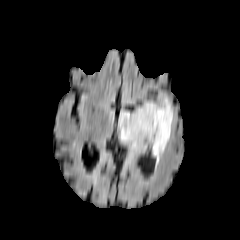
FLAIR MR image.
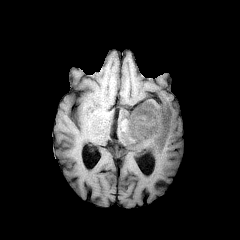
T1-weighted MRI.
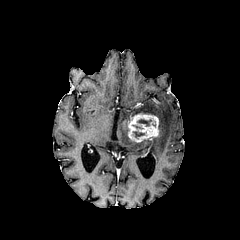
Post-contrast T1-weighted MR.
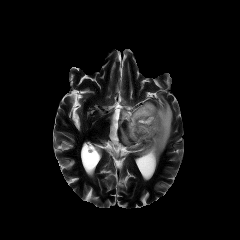
T2-weighted MRI.
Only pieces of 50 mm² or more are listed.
necrotic tumor core — 138,119,151,126
peritumoral edema — 119,98,174,162
enhancing tumor — 128,113,159,142